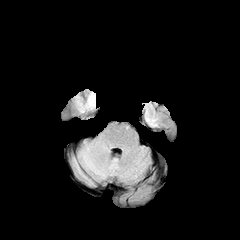
FLAIR magnetic resonance.
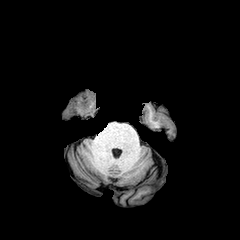
T1-weighted MR.
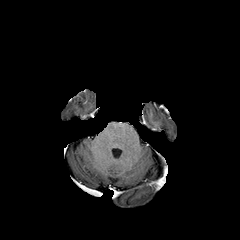
Post-contrast T1-weighted MRI.
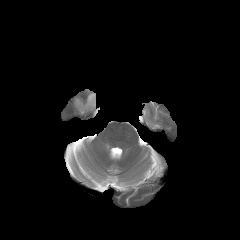
Same slice, T2-weighted MRI.
240x240 px | Head
The peritumoral edema is at box=[88, 92, 95, 106].